240x240. Brain. Image width 240 mm.
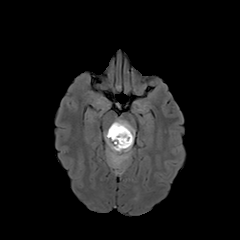
FLAIR MRI.
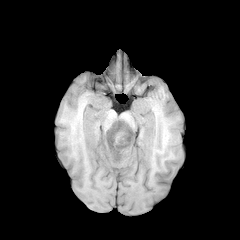
T1-weighted MR of the same slice.
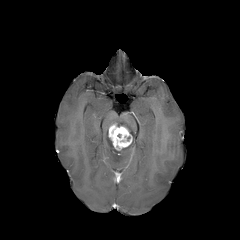
Post-contrast T1-weighted MR of the same slice.
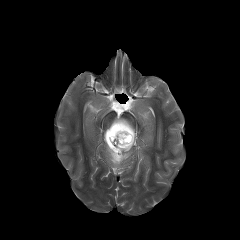
Same slice, T2-weighted magnetic resonance.
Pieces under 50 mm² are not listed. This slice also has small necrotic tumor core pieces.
The peritumoral edema is at 104:117:134:172. The enhancing tumor is located at 108:122:132:150.